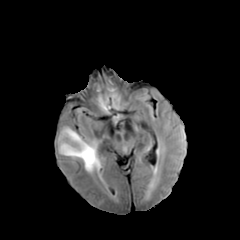
FLAIR MRI.
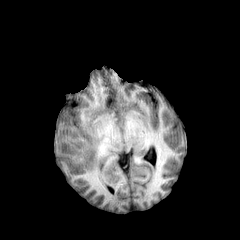
Same slice, T1-weighted MR.
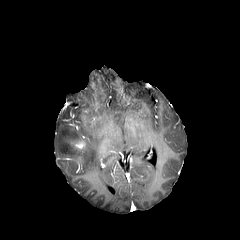
Same slice, post-contrast T1-weighted MRI.
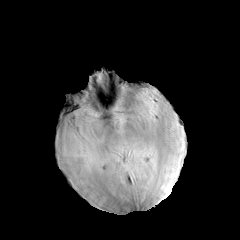
T2-weighted magnetic resonance.
Axial plane. Head.
Segmented structures:
* enhancing tumor: <bbox>72, 141, 86, 150</bbox>
* peritumoral edema: <bbox>60, 141, 100, 172</bbox>, <bbox>62, 128, 83, 141</bbox>